FLAIR MR.
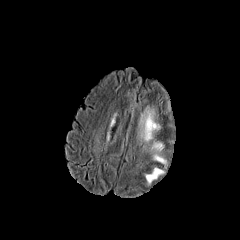
T1-weighted MRI.
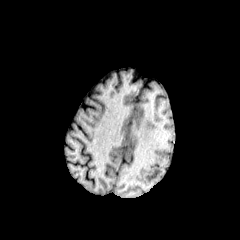
Post-contrast T1-weighted magnetic resonance.
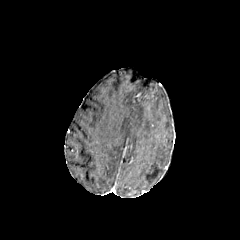
T2-weighted MRI.
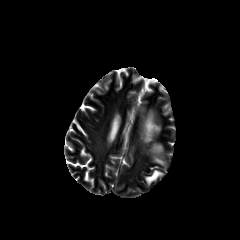
Axial slice; 240x240; Brain
{"peritumoral_edema": ["x1=145 y1=168 x2=163 y2=183", "x1=151 y1=143 x2=162 y2=151", "x1=154 y1=154 x2=165 y2=163", "x1=142 y1=112 x2=159 y2=141"]}